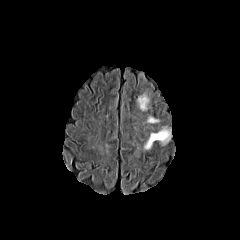
FLAIR MR image.
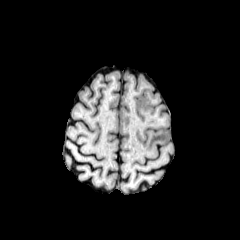
T1-weighted MR image of the same slice.
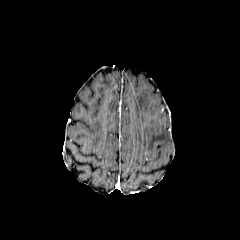
Post-contrast T1-weighted MR image.
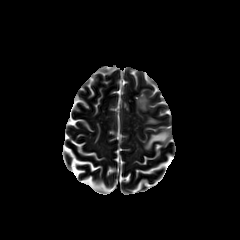
T2-weighted MR.
240x240
Segmented structures:
* peritumoral edema: <bbox>138, 94, 149, 110</bbox>, <bbox>144, 129, 169, 149</bbox>, <bbox>147, 117, 158, 123</bbox>